Slice 53 of 155 | Axial slice | Head
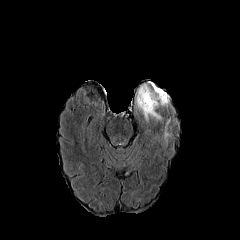
FLAIR MR image.
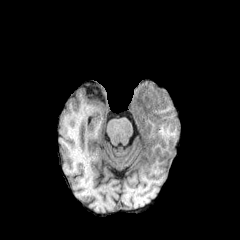
Same slice, T1-weighted magnetic resonance.
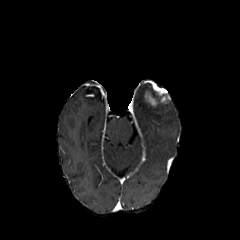
Post-contrast T1-weighted magnetic resonance of the same slice.
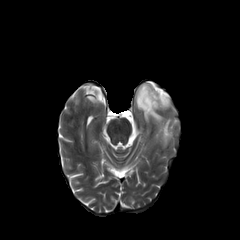
T2-weighted magnetic resonance.
<segmentation>
  <peritumoral_edema>164,119,170,141; 135,84,168,120</peritumoral_edema>
  <enhancing_tumor>148,81,169,103; 144,91,157,106</enhancing_tumor>
</segmentation>